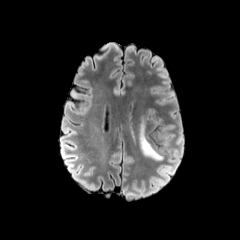
FLAIR magnetic resonance.
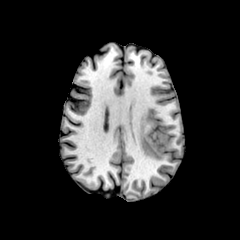
T1-weighted MR image.
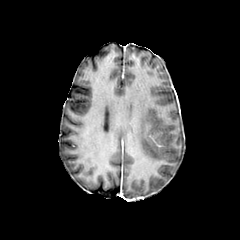
Post-contrast T1-weighted magnetic resonance.
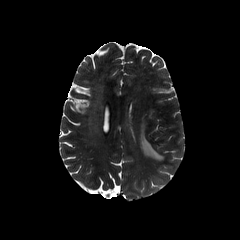
T2-weighted magnetic resonance of the same slice.
Head
{"peritumoral_edema": ["[139, 120, 163, 160]"]}